Axial view; Slice 79 of 155; 240x240 px; Image width 240 mm, 1.00 mm slice spacing; Brain
FLAIR MRI.
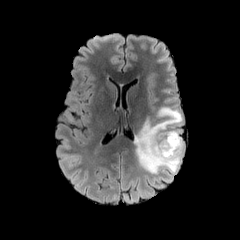
T1-weighted MR image.
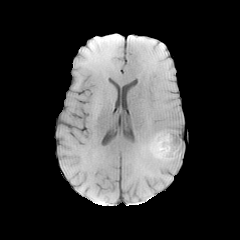
Post-contrast T1-weighted magnetic resonance.
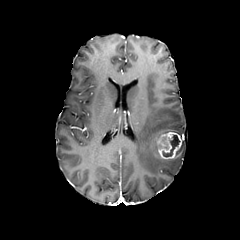
T2-weighted MRI.
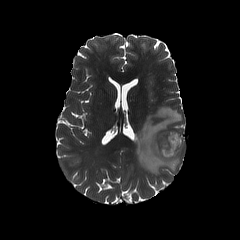
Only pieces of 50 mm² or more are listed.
enhancing tumor at rect(157, 132, 182, 159)
peritumoral edema at rect(134, 106, 184, 180)
necrotic tumor core at rect(163, 135, 178, 156)